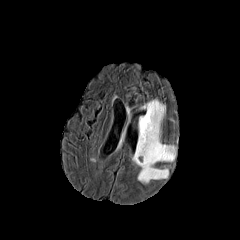
FLAIR magnetic resonance.
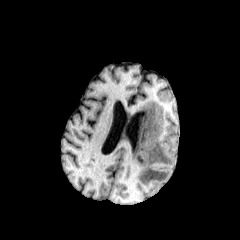
T1-weighted MR image.
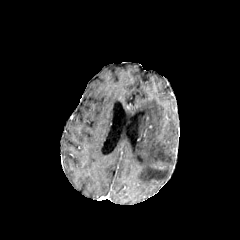
Post-contrast T1-weighted magnetic resonance of the same slice.
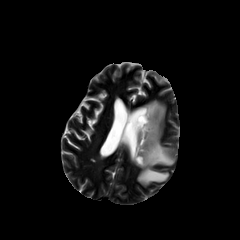
Same slice, T2-weighted magnetic resonance.
The peritumoral edema is bounded by <bbox>132, 99, 175, 184</bbox>.